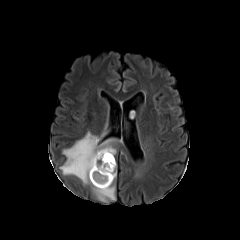
FLAIR MRI.
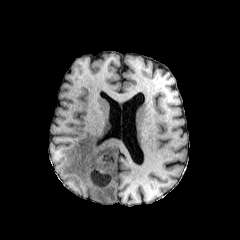
T1-weighted MRI.
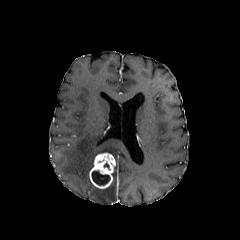
Post-contrast T1-weighted MR image.
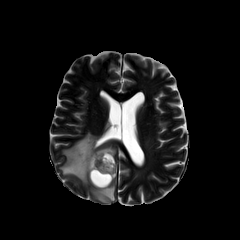
T2-weighted MR of the same slice.
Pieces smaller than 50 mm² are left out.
Segmented structures:
* enhancing tumor: (89,152,115,188)
* peritumoral edema: (59,132,118,202)
* necrotic tumor core: (92,171,110,185)